240x240 px | Brain | Slice index 47
FLAIR MRI.
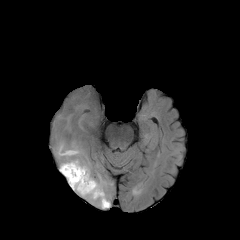
T1-weighted MRI.
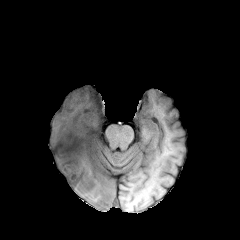
Post-contrast T1-weighted MRI.
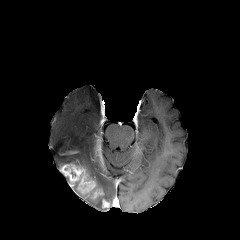
T2-weighted MR image.
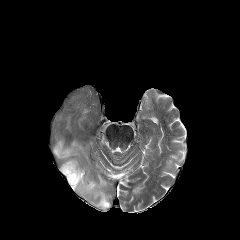
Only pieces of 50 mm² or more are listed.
necrotic tumor core: box=[61, 144, 71, 152]
enhancing tumor: box=[102, 199, 109, 208]; box=[59, 162, 103, 198]; box=[58, 142, 78, 154]
peritumoral edema: box=[64, 116, 71, 131]; box=[53, 134, 112, 208]